Brain. 240x240 px.
FLAIR MRI.
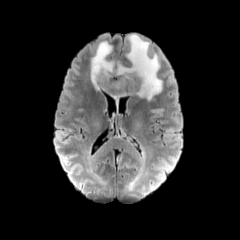
T1-weighted MR image.
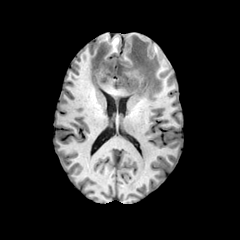
Post-contrast T1-weighted MR.
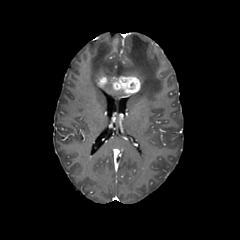
T2-weighted magnetic resonance.
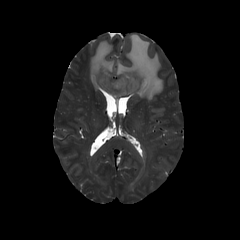
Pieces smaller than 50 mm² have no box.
enhancing tumor = [97, 75, 140, 95]
peritumoral edema = [90, 41, 114, 89], [116, 34, 162, 99], [151, 108, 165, 117]